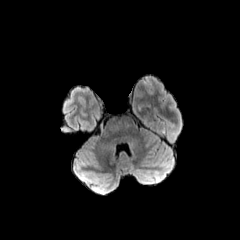
FLAIR MR image.
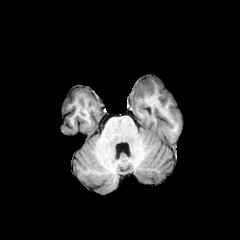
T1-weighted MRI.
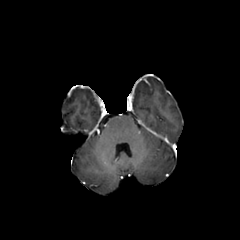
Post-contrast T1-weighted MRI of the same slice.
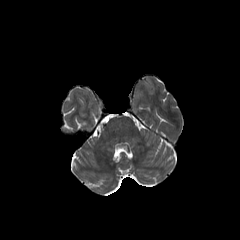
T2-weighted MRI.
Head | Axial view | 240x240 px
enhancing_tumor:
  - 142 79 151 91
peritumoral_edema:
  - 135 78 153 97